FLAIR magnetic resonance.
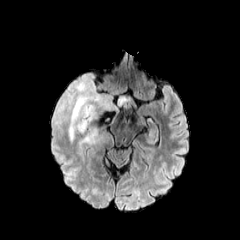
T1-weighted magnetic resonance.
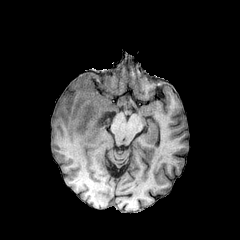
Post-contrast T1-weighted MR image.
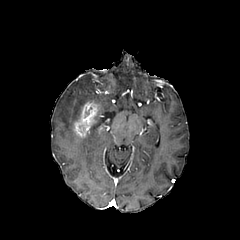
T2-weighted MR.
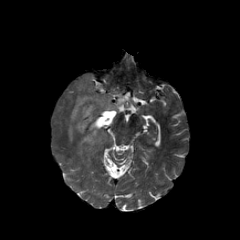
Image size 240x240, Head, Axial plane
The necrotic tumor core is located at box=[84, 106, 91, 117]. 2 peritumoral edema regions are located at box=[52, 72, 119, 146]; box=[117, 96, 128, 106]. The enhancing tumor is bounded by box=[73, 100, 100, 137].